240x240 px | Image width 240 mm | Head | Axial slice
FLAIR magnetic resonance.
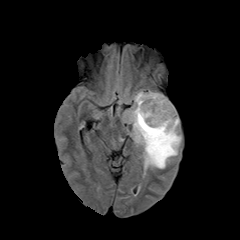
T1-weighted MRI.
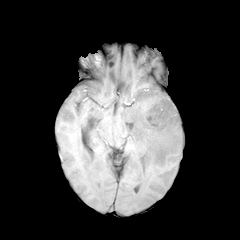
Post-contrast T1-weighted MR.
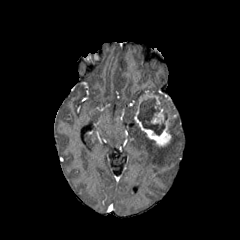
T2-weighted magnetic resonance.
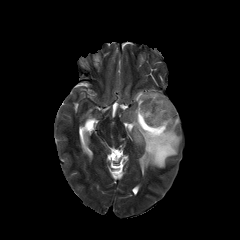
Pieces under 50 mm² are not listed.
The largest necrotic tumor core region is at [137,98,175,135]. The 2 largest enhancing tumor regions are located at [134,91,176,146], [151,107,163,124]. 2 peritumoral edema regions are bounded by [124,90,181,169], [149,90,168,100].